FLAIR MR.
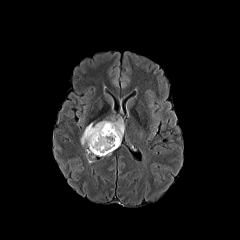
T1-weighted MR image.
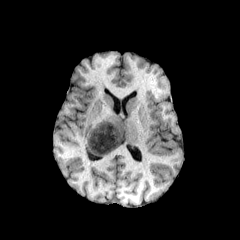
Post-contrast T1-weighted MR.
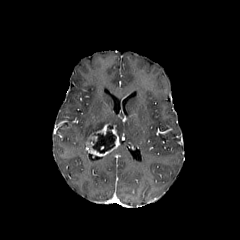
T2-weighted magnetic resonance.
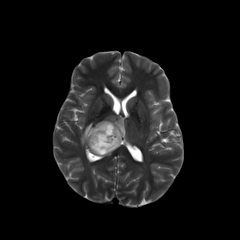
Head, Image size 240x240
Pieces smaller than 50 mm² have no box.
The largest necrotic tumor core region lies within bbox(92, 125, 116, 153). The largest enhancing tumor region is at bbox(86, 123, 119, 156). The largest peritumoral edema region is bounded by bbox(81, 118, 124, 146).